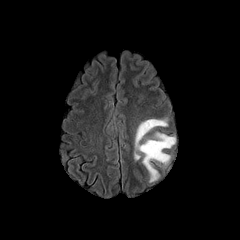
FLAIR MRI.
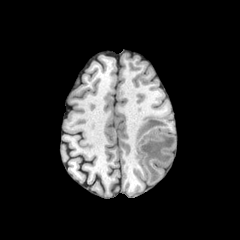
T1-weighted MR image of the same slice.
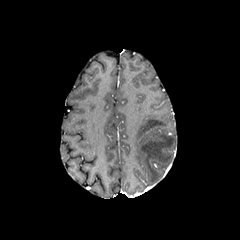
Same slice, post-contrast T1-weighted magnetic resonance.
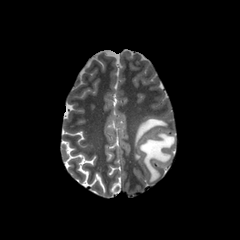
T2-weighted MRI.
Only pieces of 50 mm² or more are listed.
Findings:
- peritumoral edema: x1=135 y1=119 x2=175 y2=181